FLAIR MRI.
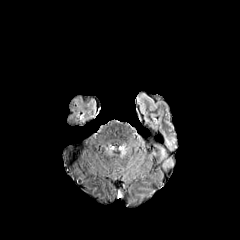
T1-weighted MR image.
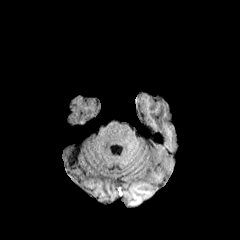
Post-contrast T1-weighted magnetic resonance.
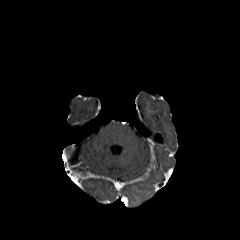
T2-weighted magnetic resonance.
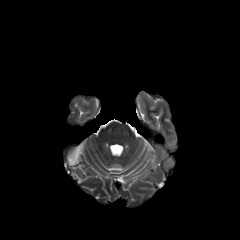
Head | Image size 240x240 | Axial plane
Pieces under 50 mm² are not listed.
peritumoral edema at [x1=166, y1=138, x2=173, y2=149]